FLAIR MR.
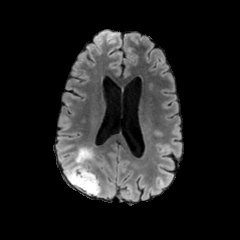
T1-weighted MRI.
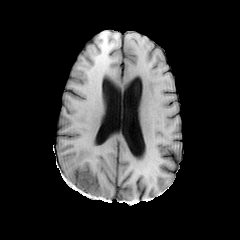
Post-contrast T1-weighted magnetic resonance.
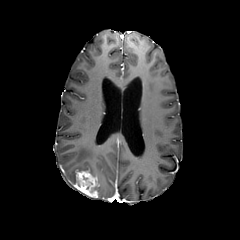
T2-weighted MRI.
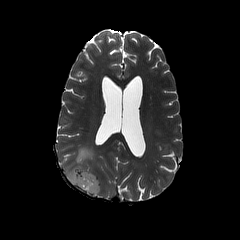
Head.
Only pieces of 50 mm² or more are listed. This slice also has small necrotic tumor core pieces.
The enhancing tumor is at 74 170 99 197. The largest peritumoral edema region is located at 64 147 93 184.